FLAIR magnetic resonance.
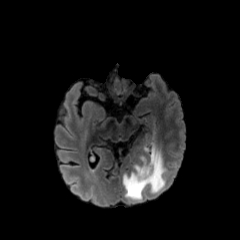
T1-weighted MR image.
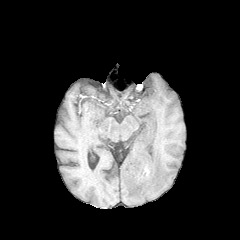
Post-contrast T1-weighted magnetic resonance.
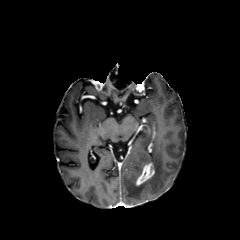
T2-weighted magnetic resonance.
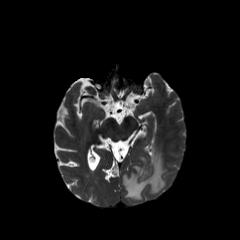
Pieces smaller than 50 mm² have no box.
Annotated regions:
• peritumoral edema: <box>123,145,165,200</box>
• enhancing tumor: <box>136,162,154,185</box>